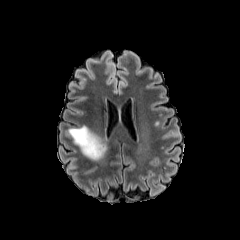
FLAIR MR.
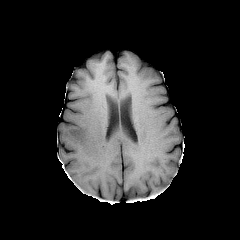
T1-weighted MR image.
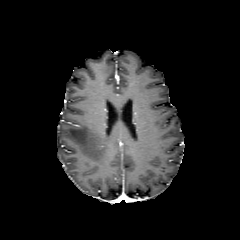
Post-contrast T1-weighted MR image.
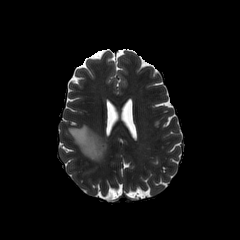
Same slice, T2-weighted MRI.
Brain; Axial view
peritumoral edema at 67, 126, 106, 160